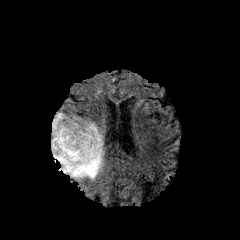
FLAIR magnetic resonance.
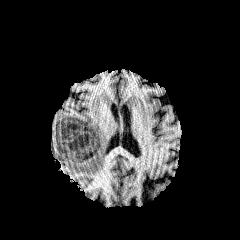
T1-weighted MRI.
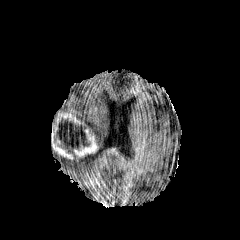
Post-contrast T1-weighted MRI of the same slice.
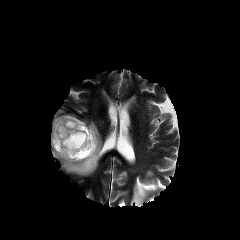
Same slice, T2-weighted MR.
Brain, Axial view, 240x240 px
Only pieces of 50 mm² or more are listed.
{"enhancing_tumor": ["(51,113,98,161)"], "necrotic_tumor_core": ["(54,121,90,157)"], "peritumoral_edema": ["(51,116,105,180)"]}